Slice 79 of 155. Head.
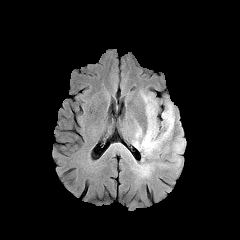
FLAIR magnetic resonance.
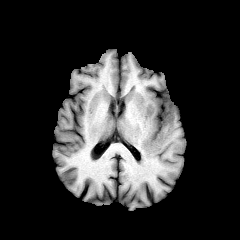
T1-weighted MRI.
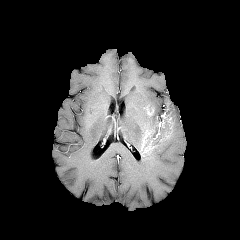
Post-contrast T1-weighted MR of the same slice.
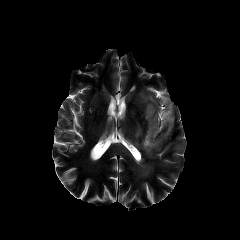
Same slice, T2-weighted MR image.
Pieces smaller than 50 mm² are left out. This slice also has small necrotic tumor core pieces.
<segmentation>
  <peritumoral_edema><box>139,165,151,176</box>, <box>174,143,183,151</box>, <box>133,99,174,157</box>, <box>142,94,162,131</box></peritumoral_edema>
  <enhancing_tumor><box>141,101,172,151</box></enhancing_tumor>
</segmentation>